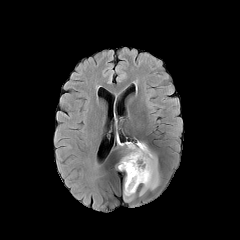
FLAIR MR.
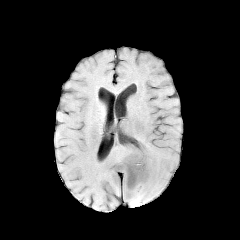
Same slice, T1-weighted MR image.
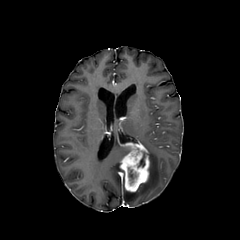
Post-contrast T1-weighted MR image.
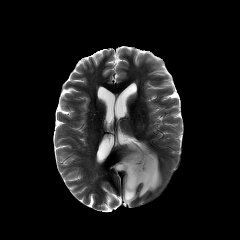
T2-weighted MRI.
Axial slice. Head.
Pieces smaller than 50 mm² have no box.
The enhancing tumor is at 120 141 149 191. The 2 largest peritumoral edema regions are bounded by 138 142 160 196, 123 181 136 202. The largest necrotic tumor core region appears at 138 152 145 166.